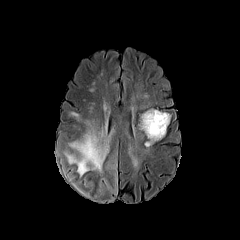
FLAIR MRI.
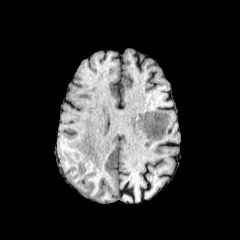
Same slice, T1-weighted magnetic resonance.
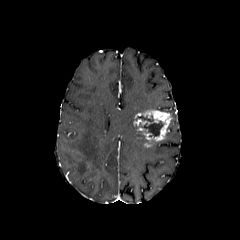
Post-contrast T1-weighted magnetic resonance of the same slice.
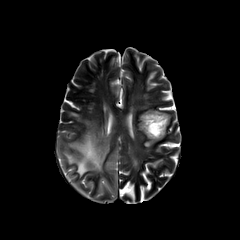
T2-weighted MR.
Head; 240x240
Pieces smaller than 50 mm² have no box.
enhancing tumor: {"x1": 136, "y1": 109, "x2": 171, "y2": 147} | peritumoral edema: {"x1": 64, "y1": 121, "x2": 117, "y2": 198}, {"x1": 132, "y1": 153, "x2": 141, "y2": 167} | necrotic tumor core: {"x1": 143, "y1": 121, "x2": 163, "y2": 136}, {"x1": 140, "y1": 115, "x2": 153, "y2": 122}